Image covers 240 mm x 240 mm.
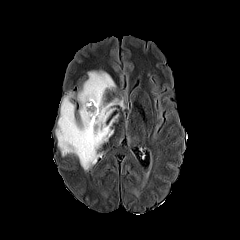
FLAIR MRI.
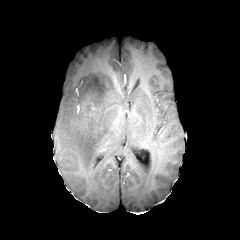
T1-weighted MR.
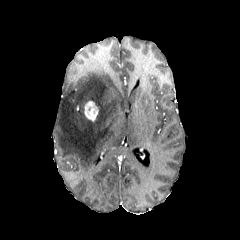
Same slice, post-contrast T1-weighted MR image.
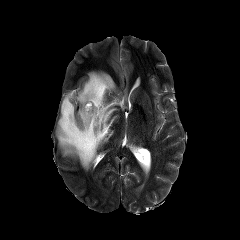
T2-weighted magnetic resonance.
The enhancing tumor is at 84:101:98:121. The peritumoral edema is at 55:71:124:170.